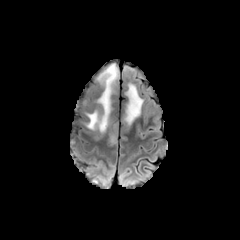
FLAIR magnetic resonance.
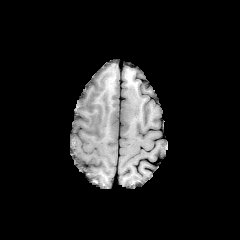
Same slice, T1-weighted magnetic resonance.
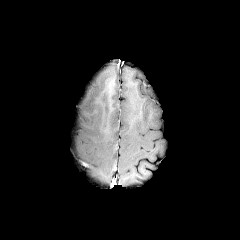
Same slice, post-contrast T1-weighted MRI.
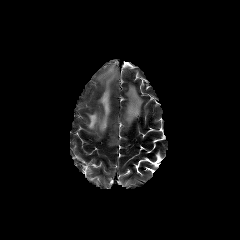
T2-weighted MR image.
Brain; 240x240 px
peritumoral edema — <box>107,132,116,144</box>, <box>80,63,118,140</box>, <box>123,82,143,124</box>